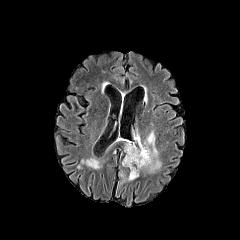
FLAIR MR image.
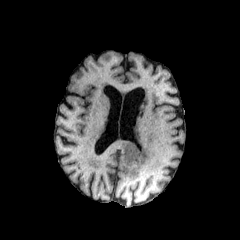
T1-weighted MRI.
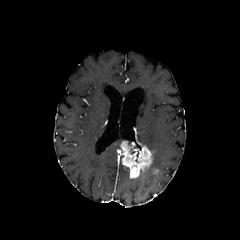
Post-contrast T1-weighted MR.
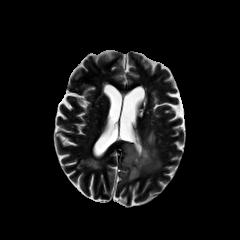
T2-weighted MR image of the same slice.
240x240 px, Head
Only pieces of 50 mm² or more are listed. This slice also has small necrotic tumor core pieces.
Annotated regions:
- enhancing tumor: (121,141,153,178)
- peritumoral edema: (142,130,161,172), (119,169,133,182)